Brain | Axial view | Image width 240 mm
FLAIR magnetic resonance.
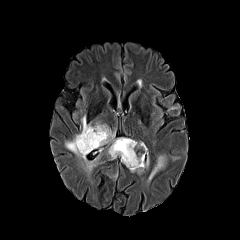
T1-weighted MR image.
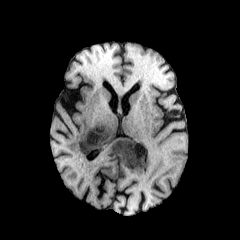
Post-contrast T1-weighted MRI.
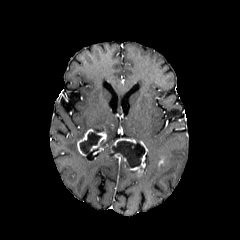
T2-weighted MR.
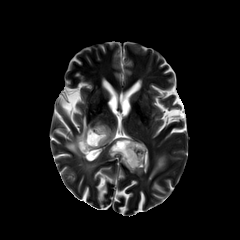
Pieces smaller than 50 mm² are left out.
* enhancing tumor: 113:138:136:145, 129:141:147:174, 77:129:94:156, 114:153:126:161, 90:129:106:151
* peritumoral edema: 65:116:114:172, 148:155:166:181
* necrotic tumor core: 79:132:101:154, 112:141:145:167